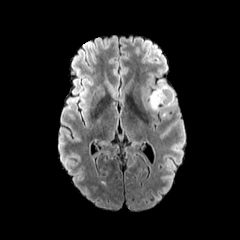
FLAIR MR image.
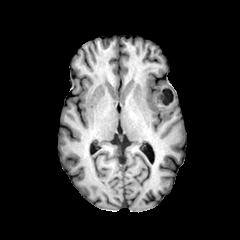
T1-weighted MR image.
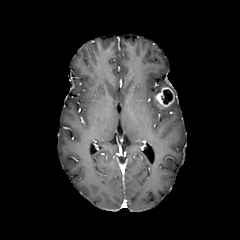
Post-contrast T1-weighted MR.
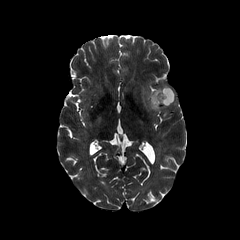
Same slice, T2-weighted MR image.
240x240
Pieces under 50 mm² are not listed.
<segmentation>
  <peritumoral_edema>(left=149, top=80, right=168, bottom=109)</peritumoral_edema>
  <necrotic_tumor_core>(left=160, top=89, right=172, bottom=104)</necrotic_tumor_core>
  <enhancing_tumor>(left=154, top=87, right=175, bottom=107)</enhancing_tumor>
</segmentation>